Axial plane, Image width 240 mm
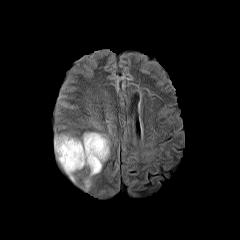
FLAIR MR image.
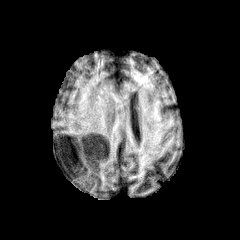
Same slice, T1-weighted MRI.
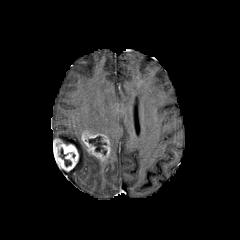
Post-contrast T1-weighted MR.
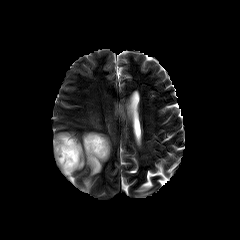
Same slice, T2-weighted magnetic resonance.
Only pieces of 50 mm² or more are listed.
The largest peritumoral edema region is located at rect(55, 134, 103, 189). The 2 largest necrotic tumor core regions are bounded by rect(88, 136, 106, 154); rect(60, 149, 71, 166). 2 enhancing tumor regions are bounded by rect(81, 132, 110, 161); rect(53, 138, 78, 171).